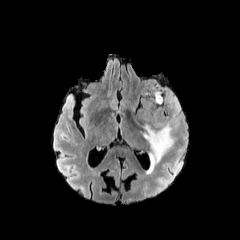
FLAIR MR.
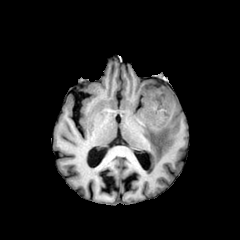
T1-weighted MR image.
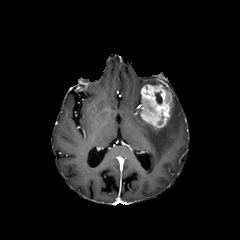
Post-contrast T1-weighted MR image.
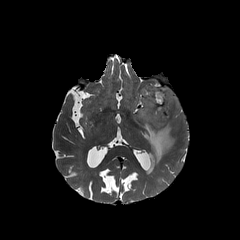
Same slice, T2-weighted magnetic resonance.
Head.
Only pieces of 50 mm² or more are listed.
Segmented structures:
* enhancing tumor: box(140, 84, 172, 128)
* necrotic tumor core: box(155, 92, 162, 104)
* peritumoral edema: box(142, 96, 180, 173)